240x240 | Axial slice | Brain
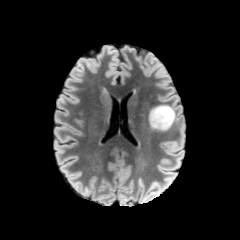
FLAIR MRI.
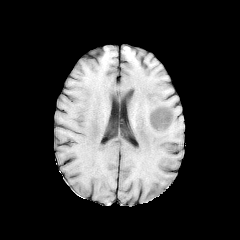
T1-weighted MR.
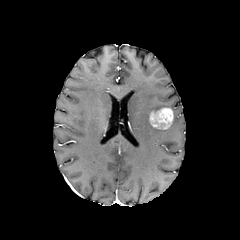
Post-contrast T1-weighted MRI.
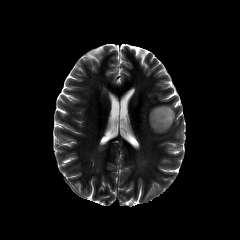
T2-weighted magnetic resonance.
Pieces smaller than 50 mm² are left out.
peritumoral edema = bbox=[150, 105, 177, 125]
enhancing tumor = bbox=[149, 108, 173, 129]